Slice 90 of 155; Axial plane
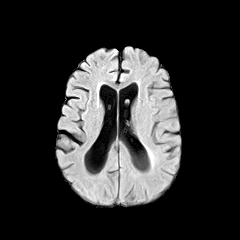
FLAIR MRI.
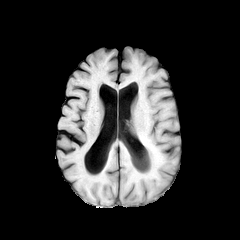
Same slice, T1-weighted magnetic resonance.
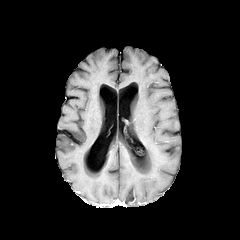
Same slice, post-contrast T1-weighted magnetic resonance.
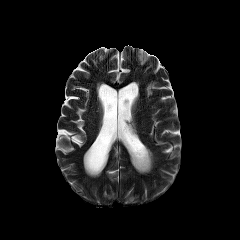
T2-weighted MR image.
peritumoral edema: bounding box x1=145 y1=146 x2=153 y2=162